FLAIR MR image.
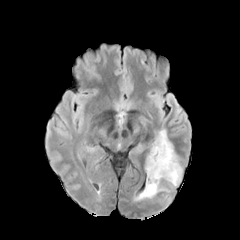
T1-weighted MR image.
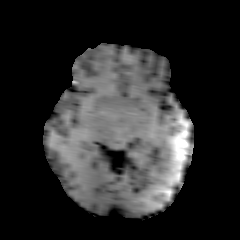
Post-contrast T1-weighted magnetic resonance.
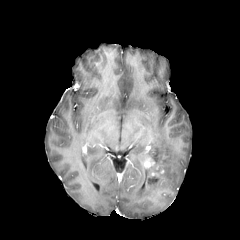
T2-weighted MRI.
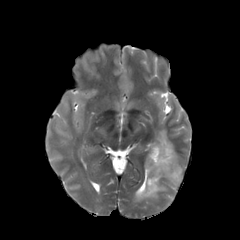
Axial view | 240x240 px
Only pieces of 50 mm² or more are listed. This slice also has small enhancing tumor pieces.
The peritumoral edema is located at [137,129,182,199].